Image width 240 mm, 1.00 mm slice spacing, Head
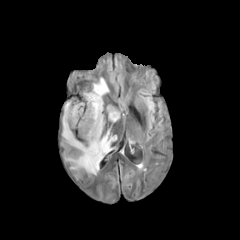
FLAIR MR image.
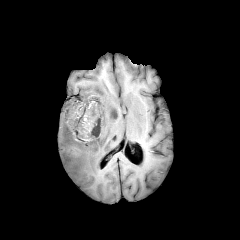
Same slice, T1-weighted MRI.
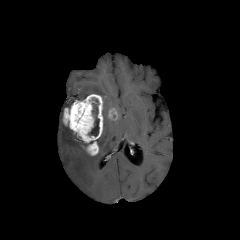
Post-contrast T1-weighted MRI of the same slice.
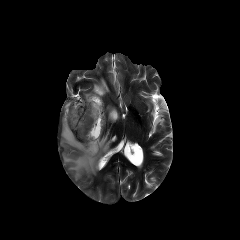
T2-weighted MRI of the same slice.
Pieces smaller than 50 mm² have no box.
<segmentation>
  <enhancing_tumor>[x1=108, y1=107, x2=118, y2=120], [x1=63, y1=94, x2=103, y2=155]</enhancing_tumor>
  <peritumoral_edema>[x1=62, y1=118, x2=114, y2=178], [x1=84, y1=78, x2=109, y2=97]</peritumoral_edema>
  <necrotic_tumor_core>[x1=88, y1=103, x2=99, y2=136]</necrotic_tumor_core>
</segmentation>